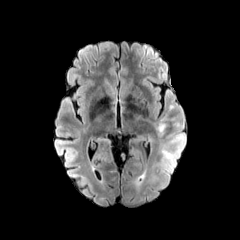
FLAIR MRI.
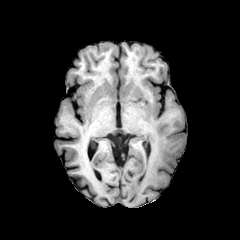
T1-weighted MR of the same slice.
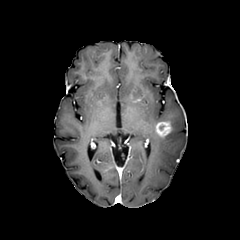
Post-contrast T1-weighted MRI.
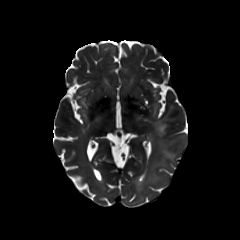
T2-weighted MR.
240x240 | Axial plane
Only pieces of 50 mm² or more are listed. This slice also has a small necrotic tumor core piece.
enhancing tumor = [155,121,171,137]
peritumoral edema = [158,135,182,153]